Axial slice; Head
FLAIR MR image.
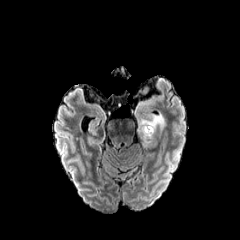
T1-weighted MR image.
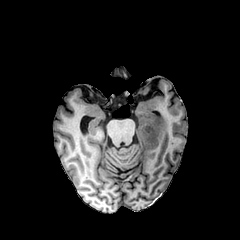
Post-contrast T1-weighted MR.
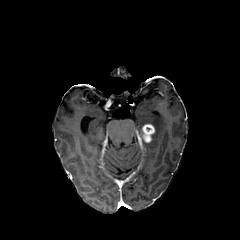
T2-weighted MR image.
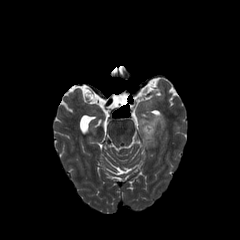
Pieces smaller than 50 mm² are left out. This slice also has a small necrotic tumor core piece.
enhancing tumor = rect(138, 124, 154, 145)
peritumoral edema = rect(137, 114, 164, 148)